FLAIR MR.
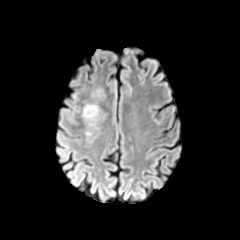
T1-weighted MR image.
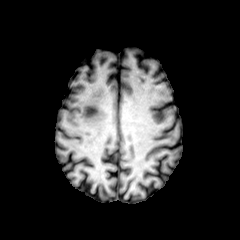
Post-contrast T1-weighted MR.
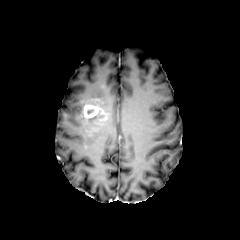
T2-weighted MRI.
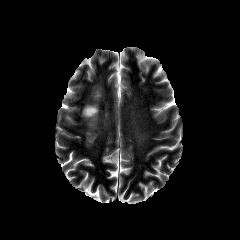
Head
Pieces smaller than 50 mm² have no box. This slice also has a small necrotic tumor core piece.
Findings:
• enhancing tumor: <box>82,105,99,118</box>
• peritumoral edema: <box>85,113,98,125</box>